Slice 49 of 155; 240x240 px; Axial slice
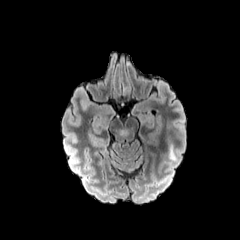
FLAIR MRI.
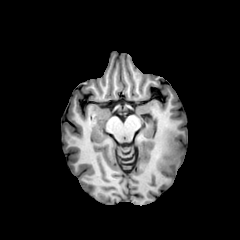
T1-weighted MRI.
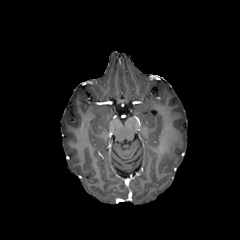
Post-contrast T1-weighted MRI of the same slice.
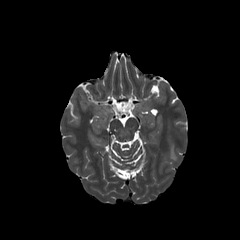
T2-weighted magnetic resonance of the same slice.
The peritumoral edema lies within left=169, top=145, right=177, bottom=161.